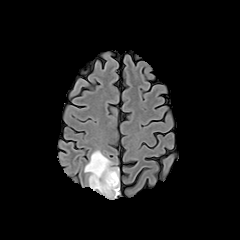
FLAIR MRI.
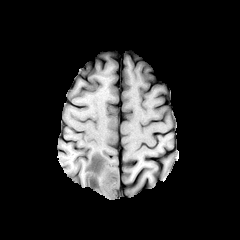
T1-weighted MR image.
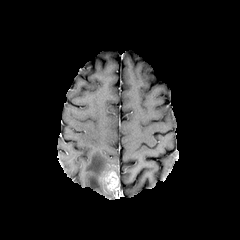
Post-contrast T1-weighted MRI of the same slice.
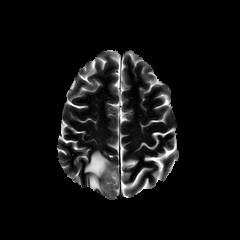
T2-weighted MR of the same slice.
Axial slice
The enhancing tumor is bounded by x1=102 y1=170 x2=117 y2=193. The peritumoral edema is bounded by x1=84 y1=150 x2=117 y2=196.